Axial slice, Slice 81 of 155, Image size 240x240
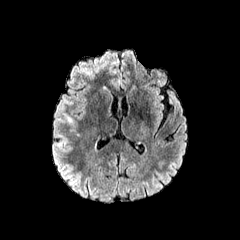
FLAIR MRI.
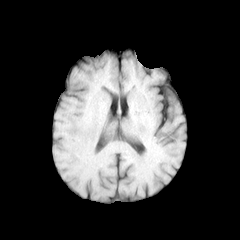
T1-weighted magnetic resonance.
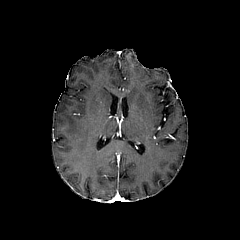
Post-contrast T1-weighted magnetic resonance.
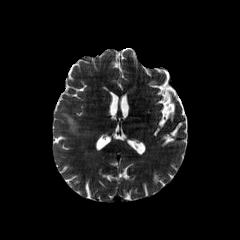
T2-weighted magnetic resonance.
<segmentation>
  <peritumoral_edema>rect(63, 114, 74, 128)</peritumoral_edema>
</segmentation>